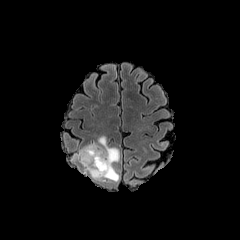
FLAIR MR.
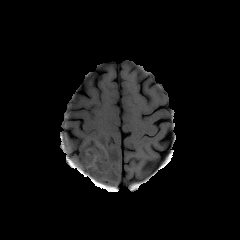
T1-weighted magnetic resonance.
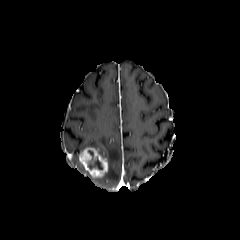
Same slice, post-contrast T1-weighted MRI.
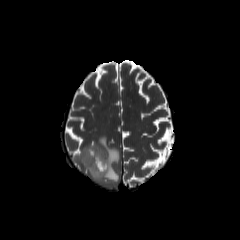
Same slice, T2-weighted MRI.
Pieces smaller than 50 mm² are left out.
Findings:
- peritumoral edema: x1=72 y1=135 x2=120 y2=182
- necrotic tumor core: x1=88 y1=150 x2=102 y2=169
- enhancing tumor: x1=79 y1=147 x2=108 y2=177